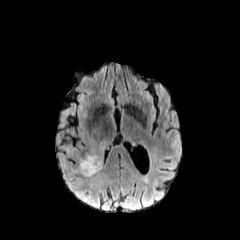
FLAIR MR.
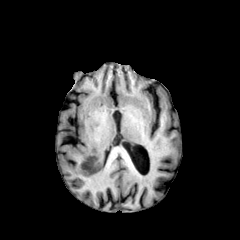
Same slice, T1-weighted MRI.
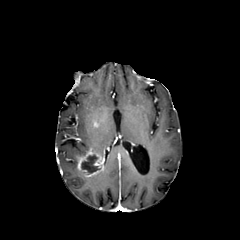
Post-contrast T1-weighted magnetic resonance.
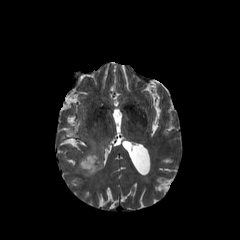
T2-weighted MR.
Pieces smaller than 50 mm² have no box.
peritumoral edema — (left=90, top=142, right=105, bottom=155), (left=89, top=170, right=102, bottom=190)
necrotic tumor core — (left=81, top=155, right=98, bottom=173)
enhancing tumor — (left=77, top=148, right=102, bottom=177)